Brain | Image size 240x240 | Slice index 78
FLAIR MR image.
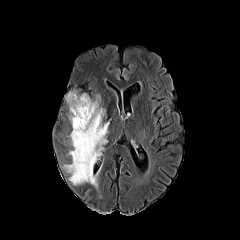
T1-weighted MR.
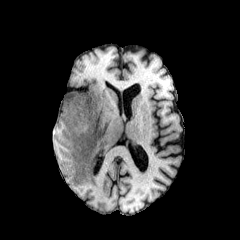
Post-contrast T1-weighted MRI.
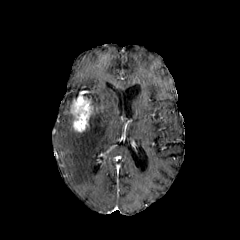
T2-weighted MRI.
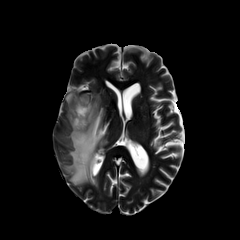
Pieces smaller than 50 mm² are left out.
The 2 largest peritumoral edema regions are bounded by 64,95,109,187; 65,92,77,111. The enhancing tumor lies within 69,94,94,132.